Axial slice. Slice 84/155. Image size 240x240. Brain.
FLAIR MRI.
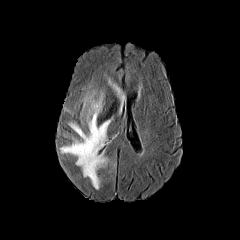
T1-weighted MR image.
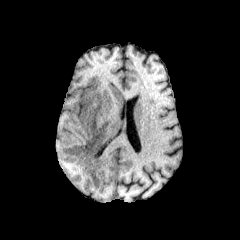
Post-contrast T1-weighted MR image.
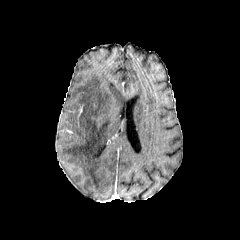
T2-weighted MR.
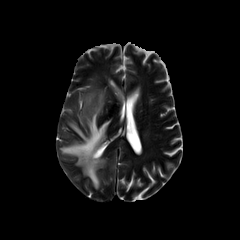
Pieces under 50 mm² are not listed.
* peritumoral edema: {"x1": 60, "y1": 86, "x2": 111, "y2": 189}, {"x1": 108, "y1": 78, "x2": 125, "y2": 109}